FLAIR MR.
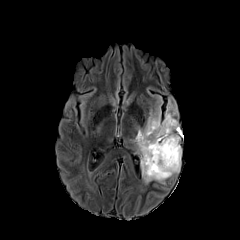
T1-weighted MR.
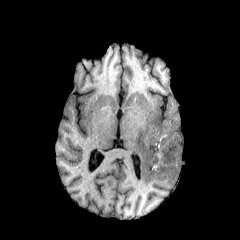
Post-contrast T1-weighted MR.
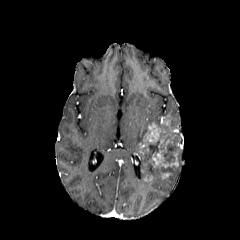
T2-weighted magnetic resonance.
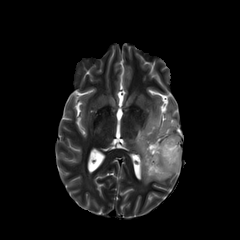
Image size 240x240 | Head
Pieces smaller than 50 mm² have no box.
<segmentation>
  <enhancing_tumor><bbox>152, 149, 178, 167</bbox>, <bbox>139, 122, 165, 154</bbox>, <bbox>161, 115, 178, 132</bbox></enhancing_tumor>
  <necrotic_tumor_core><bbox>142, 122, 180, 178</bbox></necrotic_tumor_core>
  <peritumoral_edema><bbox>168, 152, 180, 177</bbox>, <bbox>165, 103, 178, 126</bbox>, <bbox>133, 109, 160, 169</bbox></peritumoral_edema>
</segmentation>